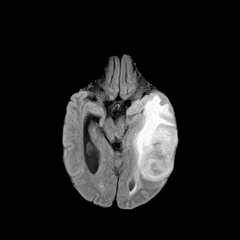
FLAIR MRI.
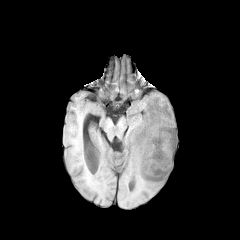
Same slice, T1-weighted MRI.
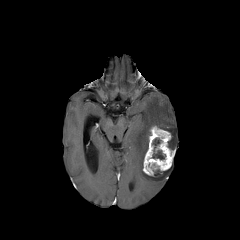
Post-contrast T1-weighted magnetic resonance.
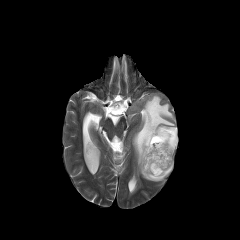
T2-weighted magnetic resonance.
Head
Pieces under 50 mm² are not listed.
peritumoral edema at <bbox>133, 93, 177, 181</bbox>
enhancing tumor at <bbox>143, 125, 174, 176</bbox>
necrotic tumor core at <bbox>152, 150, 164, 159</bbox>